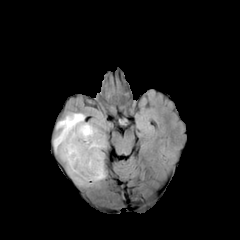
FLAIR MRI.
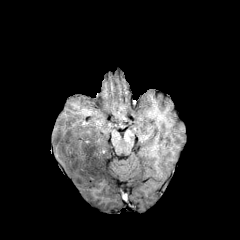
T1-weighted magnetic resonance.
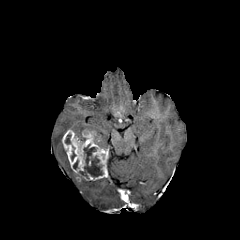
Post-contrast T1-weighted MR of the same slice.
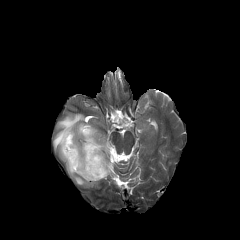
Same slice, T2-weighted MR image.
Brain, 240x240
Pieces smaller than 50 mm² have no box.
necrotic_tumor_core:
  - 79 144 102 178
peritumoral_edema:
  - 53 113 107 187
enhancing_tumor:
  - 61 128 107 181